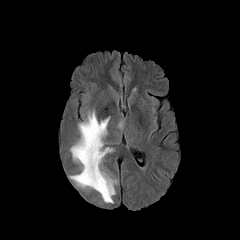
FLAIR MRI.
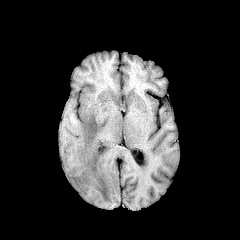
T1-weighted magnetic resonance.
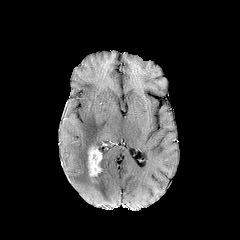
Post-contrast T1-weighted MR.
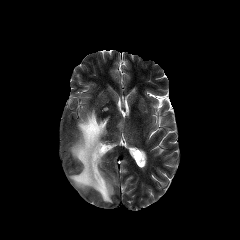
Same slice, T2-weighted MR.
Axial view; 240x240 px
enhancing tumor = bbox=[88, 147, 101, 177]
peritumoral edema = bbox=[69, 110, 117, 203]